Image width 240 mm; Image size 240x240; Slice index 48; Head
FLAIR magnetic resonance.
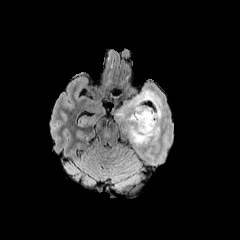
T1-weighted MR image.
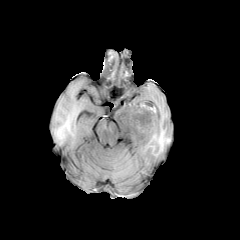
Post-contrast T1-weighted magnetic resonance.
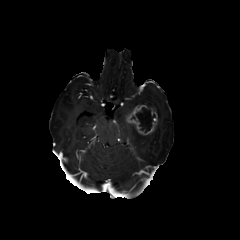
T2-weighted MR image.
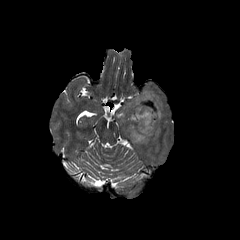
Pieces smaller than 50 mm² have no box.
peritumoral edema at 121:90:162:145
necrotic tumor core at 136:107:155:132
enhancing tumor at 125:104:158:136